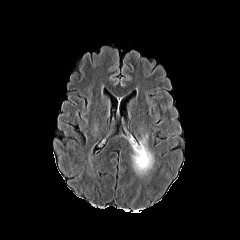
FLAIR MR.
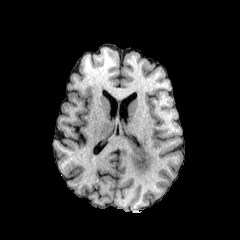
Same slice, T1-weighted MR image.
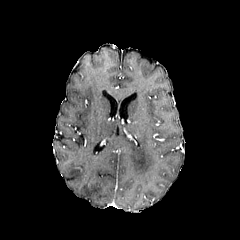
Post-contrast T1-weighted MR image of the same slice.
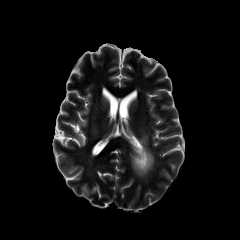
T2-weighted MR of the same slice.
Axial view, Brain
- peritumoral edema: bbox(129, 135, 153, 174)